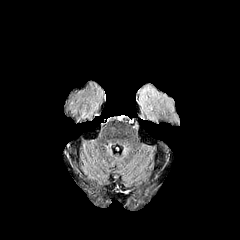
FLAIR MRI.
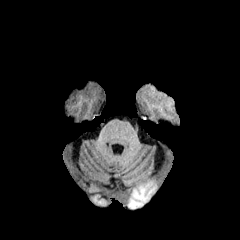
Same slice, T1-weighted MR image.
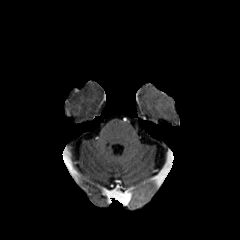
Same slice, post-contrast T1-weighted MR image.
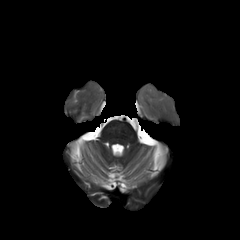
T2-weighted magnetic resonance.
Axial plane
Annotated regions:
• peritumoral edema: l=140, t=87, r=171, b=115